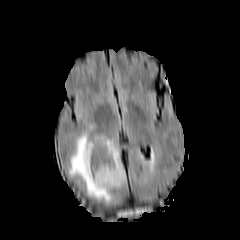
FLAIR MR image.
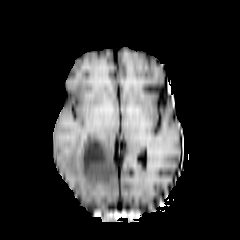
T1-weighted MRI of the same slice.
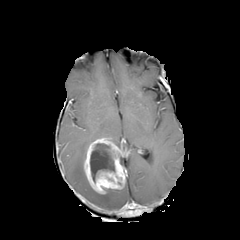
Same slice, post-contrast T1-weighted MR image.
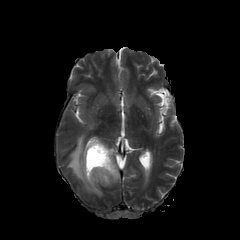
T2-weighted MR image.
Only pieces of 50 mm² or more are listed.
<segmentation>
  <enhancing_tumor>[84, 138, 125, 193]</enhancing_tumor>
  <peritumoral_edema>[69, 133, 113, 202]</peritumoral_edema>
  <necrotic_tumor_core>[90, 143, 114, 182]</necrotic_tumor_core>
</segmentation>